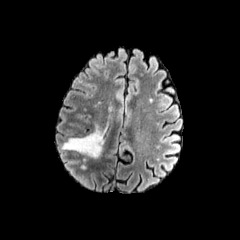
FLAIR MRI.
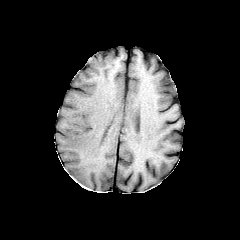
Same slice, T1-weighted magnetic resonance.
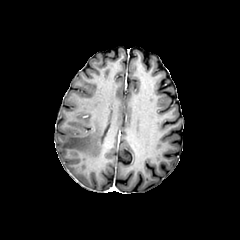
Post-contrast T1-weighted MR image.
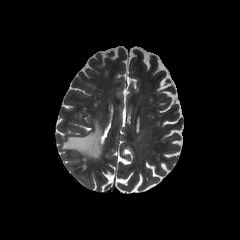
Same slice, T2-weighted MRI.
Axial plane; Head
Findings:
• peritumoral edema: (62,124,102,158)